Brain
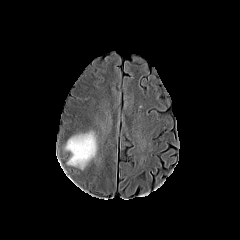
FLAIR MR image.
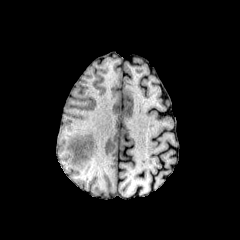
T1-weighted MR of the same slice.
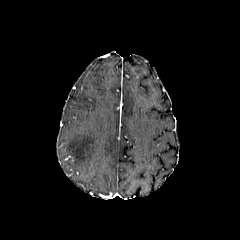
Post-contrast T1-weighted MR.
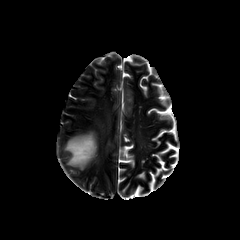
T2-weighted magnetic resonance.
peritumoral_edema:
  - 65 131 96 169